FLAIR magnetic resonance.
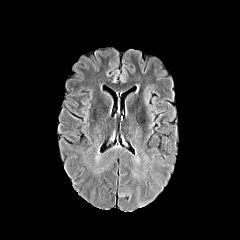
T1-weighted MR.
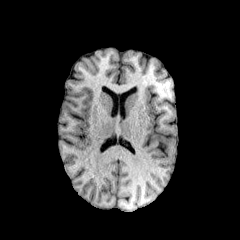
Post-contrast T1-weighted magnetic resonance.
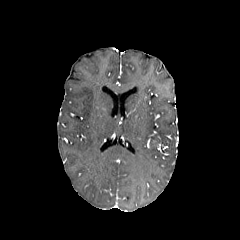
T2-weighted magnetic resonance.
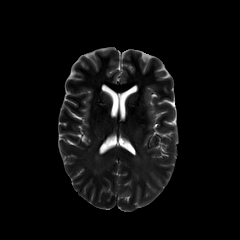
Head; Image size 240x240
The peritumoral edema lies within <bbox>92, 148, 151, 177</bbox>.